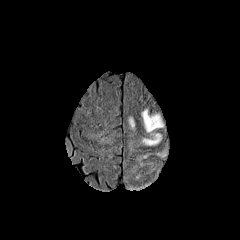
FLAIR MR image.
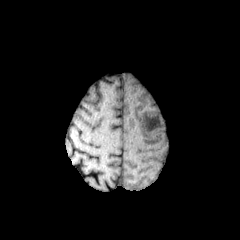
T1-weighted magnetic resonance.
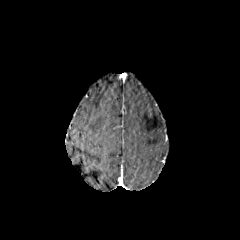
Post-contrast T1-weighted MRI.
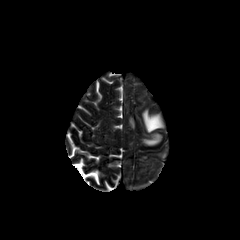
Same slice, T2-weighted MR image.
Axial plane
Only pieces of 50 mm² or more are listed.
peritumoral edema: bounding box box=[142, 109, 163, 132]; box=[136, 150, 167, 159]; box=[143, 134, 161, 145]